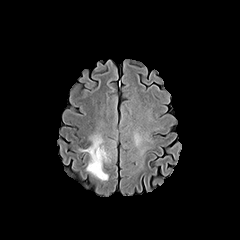
FLAIR MR image.
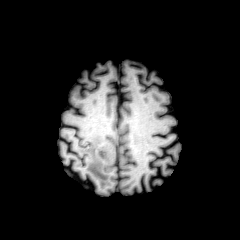
Same slice, T1-weighted MRI.
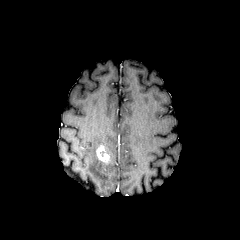
Post-contrast T1-weighted magnetic resonance.
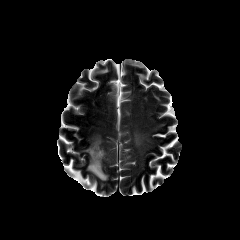
T2-weighted MR.
Axial plane. Head.
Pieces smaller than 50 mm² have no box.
peritumoral edema at rect(81, 134, 108, 180)
enhancing tumor at rect(96, 146, 110, 162)